FLAIR MR.
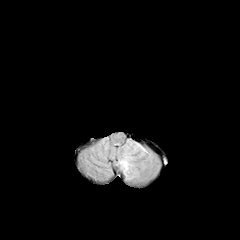
T1-weighted MRI.
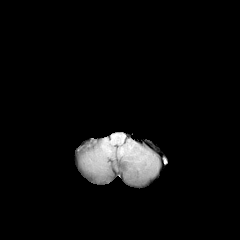
Post-contrast T1-weighted MR.
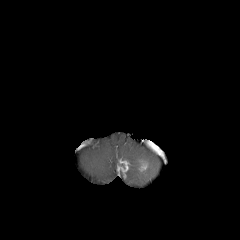
T2-weighted MRI.
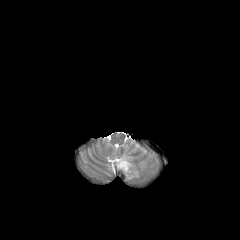
Axial view; Head
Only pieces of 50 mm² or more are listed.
enhancing tumor at bbox=[117, 159, 129, 174]; bbox=[139, 160, 148, 172]
peritumoral edema at bbox=[115, 140, 157, 181]